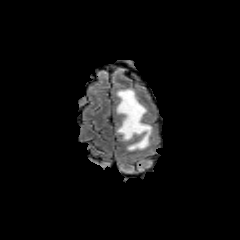
FLAIR MRI.
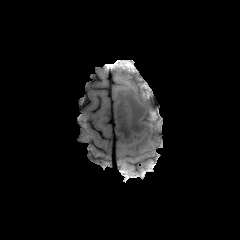
Same slice, T1-weighted MRI.
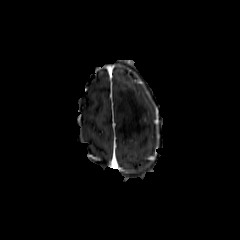
Post-contrast T1-weighted MRI.
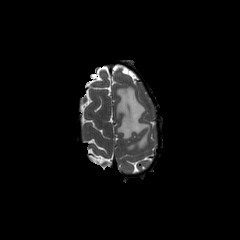
T2-weighted MR.
240x240; Axial plane
The peritumoral edema appears at l=116, t=88, r=151, b=150.